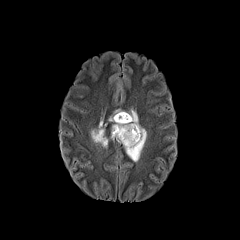
FLAIR MRI.
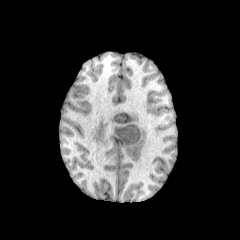
T1-weighted MR image.
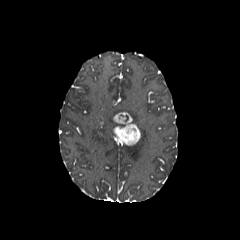
Post-contrast T1-weighted magnetic resonance of the same slice.
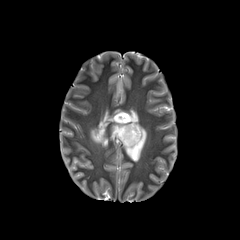
Same slice, T2-weighted MR image.
Head | Axial plane
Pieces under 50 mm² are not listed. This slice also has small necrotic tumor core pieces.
{"peritumoral_edema": ["x1=110, y1=123, x2=117, y2=139", "x1=123, y1=109, x2=146, y2=161", "x1=90, y1=121, x2=108, y2=147", "x1=109, y1=109, x2=125, y2=121"], "enhancing_tumor": ["x1=113, y1=112, x2=140, y2=145"]}